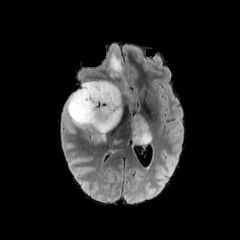
FLAIR MR.
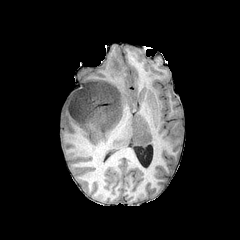
T1-weighted MR image.
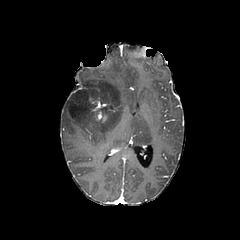
Post-contrast T1-weighted MR.
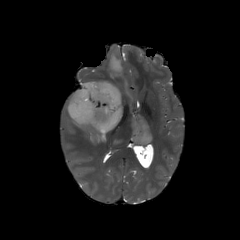
T2-weighted MR image.
Head
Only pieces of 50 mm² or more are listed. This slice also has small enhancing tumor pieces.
peritumoral_edema:
  - bbox(67, 81, 124, 146)
  - bbox(130, 114, 154, 147)
  - bbox(111, 139, 123, 146)
  - bbox(107, 50, 137, 102)